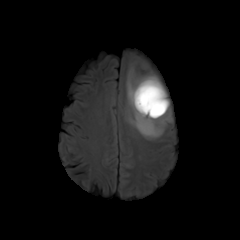
FLAIR MR.
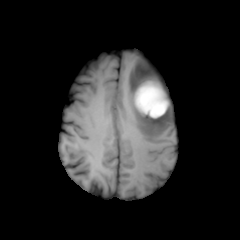
T1-weighted magnetic resonance.
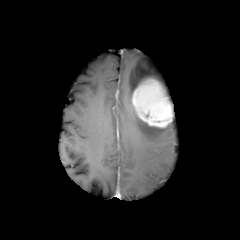
Post-contrast T1-weighted MR.
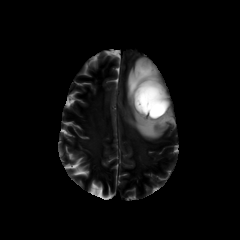
Same slice, T2-weighted MR image.
Image size 240x240; Axial slice; Head
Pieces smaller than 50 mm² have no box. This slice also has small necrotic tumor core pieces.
peritumoral edema: bounding box box(126, 59, 169, 139)
enhancing tumor: bounding box box(132, 80, 172, 127)